Brain
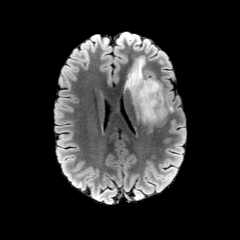
FLAIR MR image.
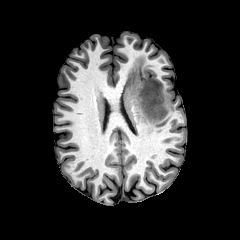
T1-weighted MR.
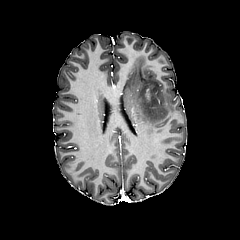
Same slice, post-contrast T1-weighted MR image.
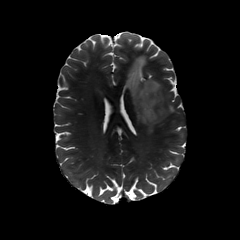
T2-weighted MRI of the same slice.
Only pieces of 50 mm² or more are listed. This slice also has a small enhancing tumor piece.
Findings:
• peritumoral edema: bbox(125, 58, 166, 125)